Slice 48/155, Brain, Image covers 240 mm x 240 mm
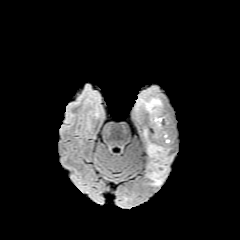
FLAIR MR image.
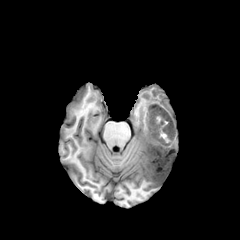
T1-weighted MR.
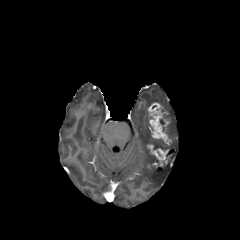
Post-contrast T1-weighted MR.
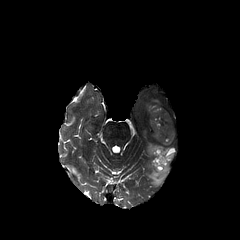
T2-weighted MR.
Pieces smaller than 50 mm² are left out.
necrotic tumor core — <bbox>151, 155, 159, 167</bbox>, <bbox>151, 139, 171, 159</bbox>, <bbox>159, 111, 170, 139</bbox>
peritumoral edema — <bbox>148, 162, 169, 185</bbox>, <bbox>145, 98, 160, 110</bbox>
enhancing tumor — <bbox>147, 103, 173, 169</bbox>